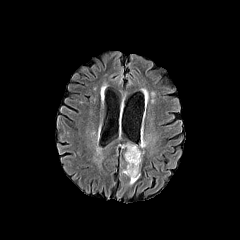
FLAIR MR.
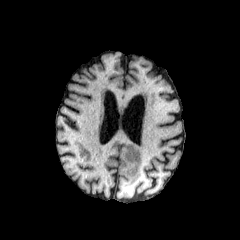
T1-weighted MRI.
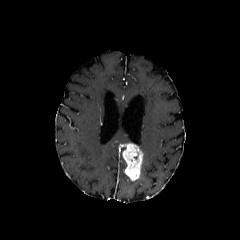
Post-contrast T1-weighted MR.
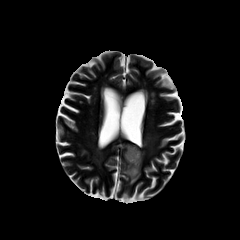
Same slice, T2-weighted MR image.
Head; Image size 240x240
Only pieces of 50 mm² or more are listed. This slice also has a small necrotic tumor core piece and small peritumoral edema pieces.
enhancing tumor = [120,143,143,180]